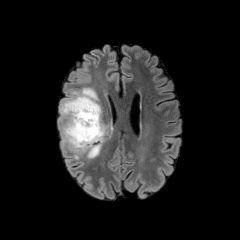
FLAIR MR image.
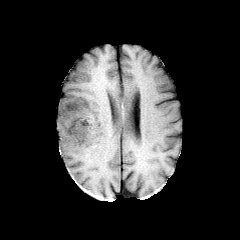
Same slice, T1-weighted MR image.
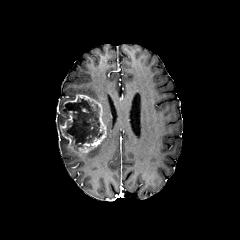
Same slice, post-contrast T1-weighted MR image.
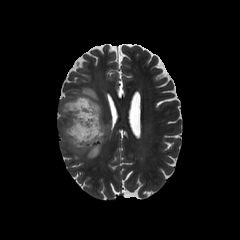
Same slice, T2-weighted MR image.
Image size 240x240, Brain
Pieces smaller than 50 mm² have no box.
Segmented structures:
• enhancing tumor: (x1=59, y1=94, x2=106, y2=155)
• necrotic tumor core: (x1=64, y1=98, x2=102, y2=147)
• peritumoral edema: (x1=61, y1=136, x2=69, y2=151), (x1=59, y1=87, x2=99, y2=125), (x1=84, y1=138, x2=105, y2=159)